Slice 85/155. Brain. Axial plane.
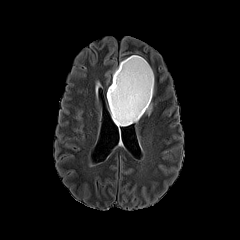
FLAIR MRI.
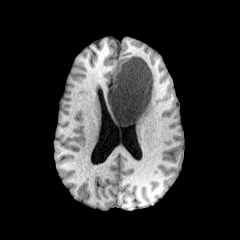
T1-weighted magnetic resonance.
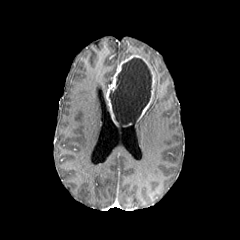
Post-contrast T1-weighted MR of the same slice.
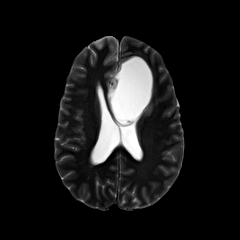
T2-weighted MR image.
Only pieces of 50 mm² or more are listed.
peritumoral_edema:
  - (145, 103, 152, 115)
enhancing_tumor:
  - (106, 55, 154, 125)
necrotic_tumor_core:
  - (109, 57, 151, 126)